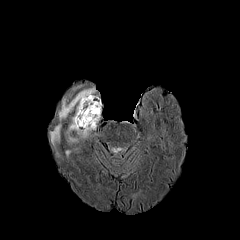
FLAIR MR image.
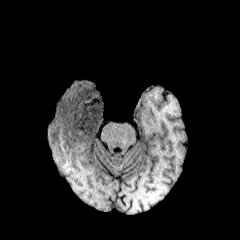
T1-weighted MR image.
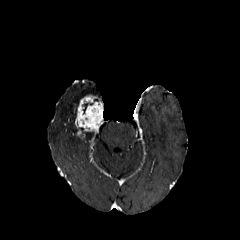
Post-contrast T1-weighted MR of the same slice.
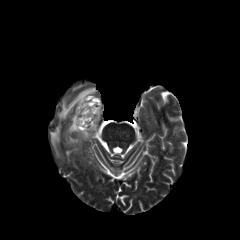
T2-weighted MR.
Image size 240x240. Axial plane.
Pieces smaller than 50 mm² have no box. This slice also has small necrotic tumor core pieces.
peritumoral edema: bounding box <bbox>58, 87, 97, 142</bbox>, <bbox>50, 123, 61, 148</bbox>
enhancing tumor: bounding box <bbox>75, 94, 102, 137</bbox>